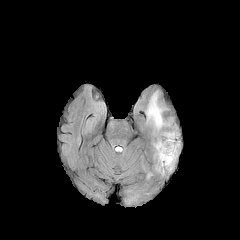
FLAIR MR.
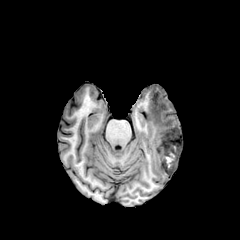
Same slice, T1-weighted magnetic resonance.
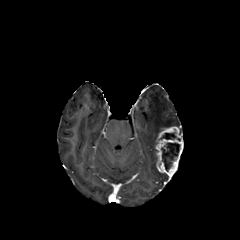
Post-contrast T1-weighted MR image.
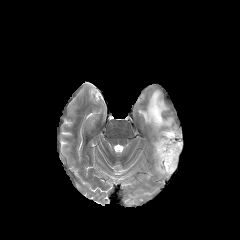
T2-weighted MRI.
Brain; Axial plane; 240x240
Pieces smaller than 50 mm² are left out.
necrotic_tumor_core:
  - left=161, top=143, right=179, bottom=171
  - left=161, top=133, right=175, bottom=139
enhancing_tumor:
  - left=155, top=126, right=183, bottom=175
peritumoral_edema:
  - left=146, top=92, right=170, bottom=131